Slice 62/155. Head. Image width 240 mm, 1.00 mm slice spacing. Axial slice.
FLAIR MRI.
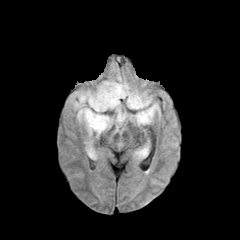
T1-weighted MRI.
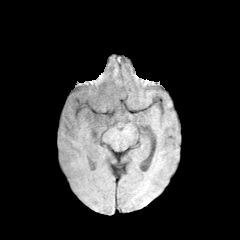
Post-contrast T1-weighted magnetic resonance.
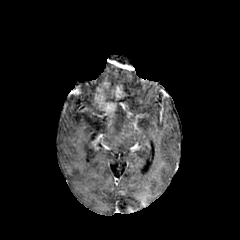
T2-weighted MR.
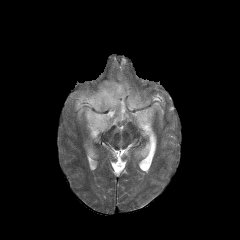
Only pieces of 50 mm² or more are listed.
Findings:
• enhancing tumor: [93, 81, 125, 125]
• peritumoral edema: [135, 148, 146, 157], [105, 69, 152, 109], [86, 141, 96, 158], [70, 90, 159, 137]
• necrotic tumor core: [105, 86, 115, 101]